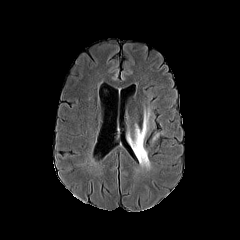
FLAIR magnetic resonance.
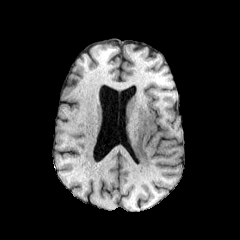
T1-weighted MRI.
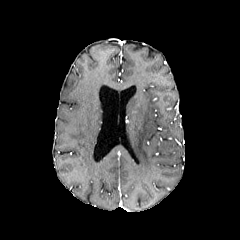
Same slice, post-contrast T1-weighted MR image.
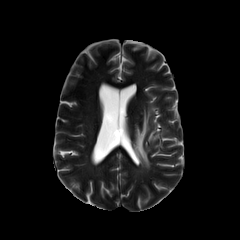
T2-weighted MRI of the same slice.
Axial plane
The peritumoral edema is at bbox(129, 109, 150, 168).